FLAIR magnetic resonance.
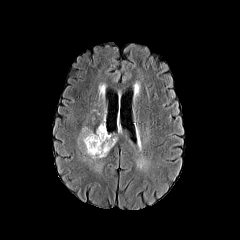
T1-weighted MR.
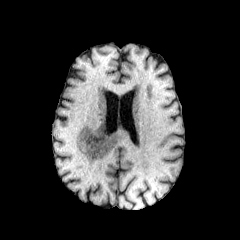
Post-contrast T1-weighted MR.
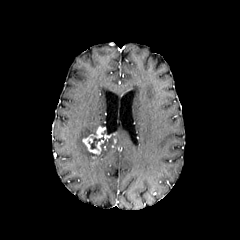
T2-weighted MRI.
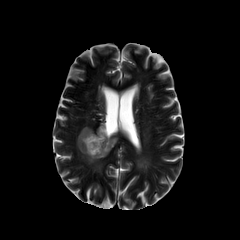
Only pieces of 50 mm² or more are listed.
enhancing tumor at bbox(82, 126, 110, 154)
necrotic tumor core at bbox(88, 131, 105, 149)
peritumoral edema at bbox(79, 126, 95, 139); bbox(85, 136, 117, 159)